FLAIR MR.
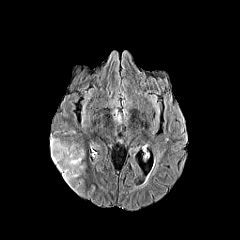
T1-weighted MRI.
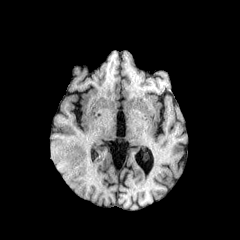
Post-contrast T1-weighted MR image.
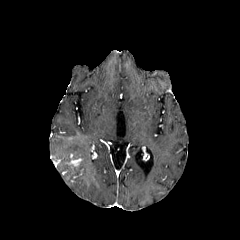
T2-weighted MR image.
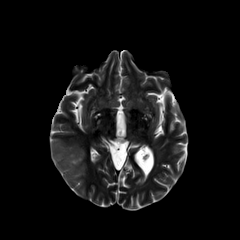
240x240; Axial plane; Head
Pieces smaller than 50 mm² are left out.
Segmented structures:
• enhancing tumor: left=66, top=154, right=82, bottom=168
• peritumoral edema: left=50, top=138, right=84, bottom=186